FLAIR MR image.
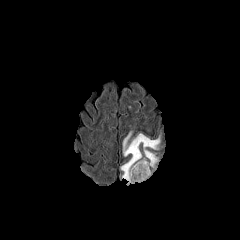
T1-weighted MR image.
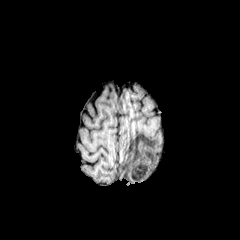
Post-contrast T1-weighted MR image.
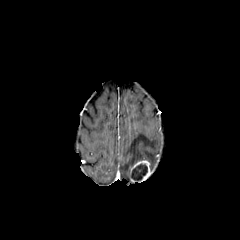
T2-weighted MRI.
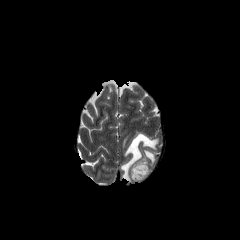
Axial slice.
enhancing_tumor:
  - 129,160,151,182
necrotic_tumor_core:
  - 130,164,147,180
peritumoral_edema:
  - 121,131,160,185
  - 144,150,158,168